FLAIR magnetic resonance.
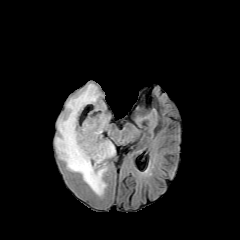
T1-weighted MR image.
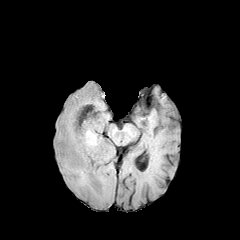
Post-contrast T1-weighted MR.
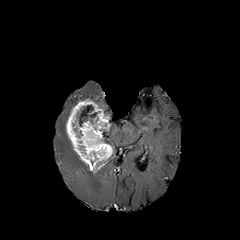
T2-weighted MR.
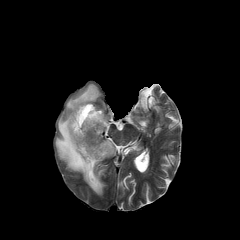
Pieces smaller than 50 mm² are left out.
The enhancing tumor is located at x1=66, y1=99, x2=113, y2=172. The largest necrotic tumor core region is bounded by x1=78, y1=105, x2=97, y2=126. The 2 largest peritumoral edema regions are bounded by x1=55, y1=83, x2=107, y2=196; x1=104, y1=140, x2=115, y2=156.